FLAIR MR image.
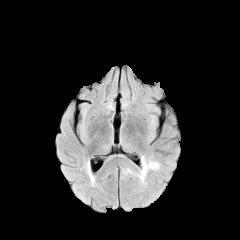
T1-weighted MR image.
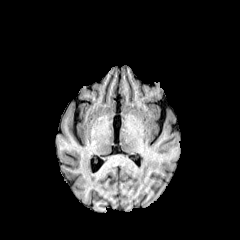
Post-contrast T1-weighted MR image.
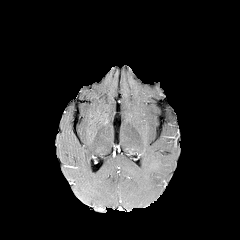
T2-weighted MR.
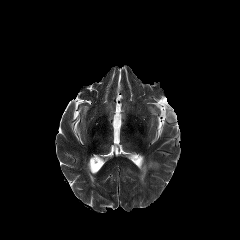
240x240, Brain, Axial slice
peritumoral edema = box=[124, 156, 159, 185]